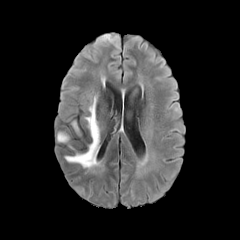
FLAIR MRI.
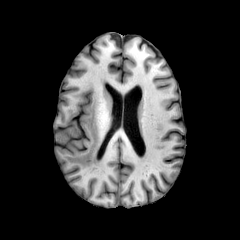
T1-weighted MRI.
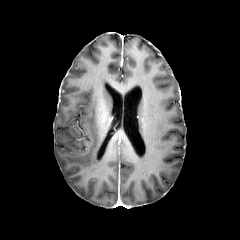
Post-contrast T1-weighted magnetic resonance of the same slice.
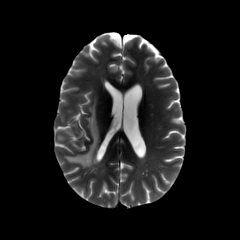
T2-weighted MR.
Head
peritumoral edema: x1=65, y1=105, x2=100, y2=169; x1=58, y1=134, x2=65, y2=141